Head
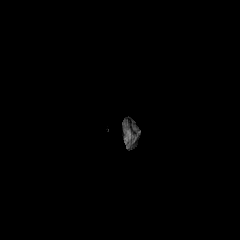
FLAIR magnetic resonance.
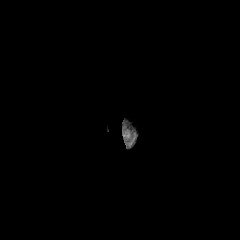
T1-weighted magnetic resonance of the same slice.
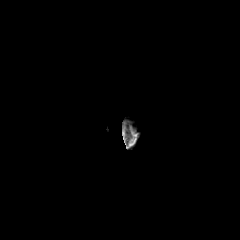
Post-contrast T1-weighted MRI.
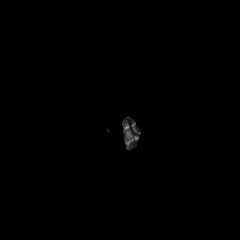
T2-weighted MR image.
The peritumoral edema appears at [x1=124, y1=126, x2=132, y2=142].